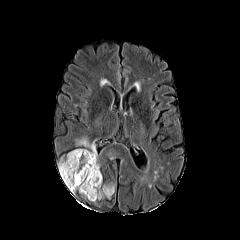
FLAIR MR image.
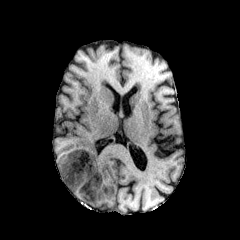
Same slice, T1-weighted MR image.
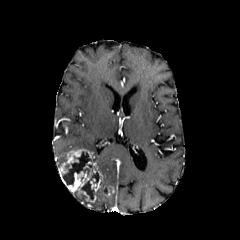
Post-contrast T1-weighted MR of the same slice.
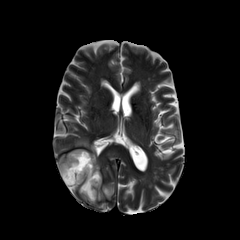
T2-weighted MR image.
Axial view.
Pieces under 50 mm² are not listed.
The 2 largest necrotic tumor core regions are bounded by bbox=[63, 151, 91, 184]; bbox=[81, 172, 99, 199]. The 2 largest peritumoral edema regions are located at bbox=[105, 183, 116, 191]; bbox=[76, 139, 100, 170]. 2 enhancing tumor regions are bounded by bbox=[104, 186, 113, 196]; bbox=[58, 149, 105, 202].